FLAIR MR image.
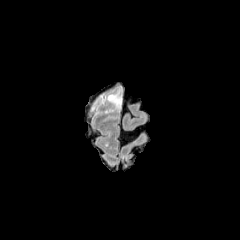
T1-weighted MR image.
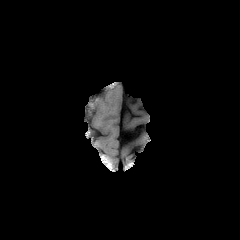
Post-contrast T1-weighted MR.
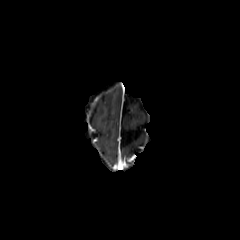
T2-weighted MR.
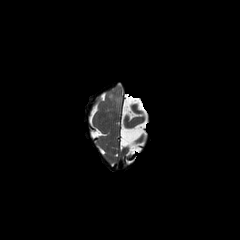
Brain | Axial view
Findings:
• peritumoral edema: 108 92 121 107